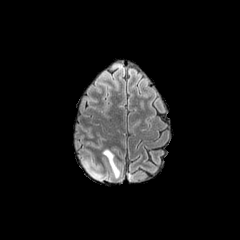
FLAIR MRI.
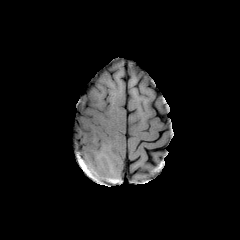
Same slice, T1-weighted MR image.
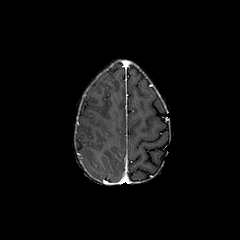
Post-contrast T1-weighted MR image of the same slice.
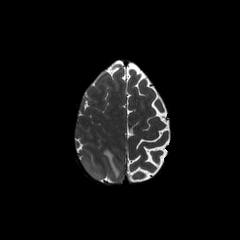
T2-weighted MR image of the same slice.
Axial view
peritumoral edema = {"x1": 103, "y1": 149, "x2": 119, "y2": 177}, {"x1": 83, "y1": 159, "x2": 101, "y2": 179}